FLAIR MRI.
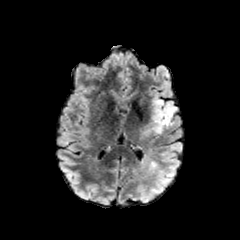
T1-weighted MR.
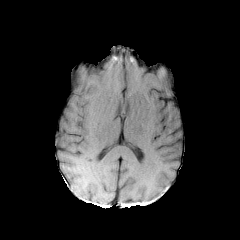
Post-contrast T1-weighted MR.
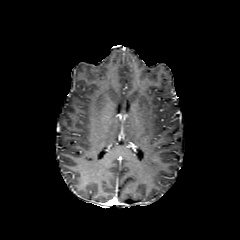
T2-weighted MR image.
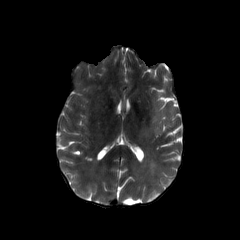
Axial view | 240x240
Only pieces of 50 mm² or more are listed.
peritumoral edema at rect(155, 99, 177, 135)